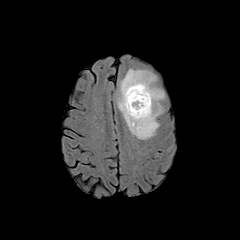
FLAIR MR image.
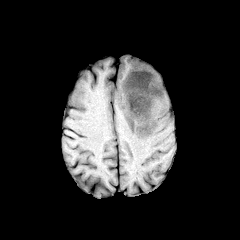
T1-weighted MRI of the same slice.
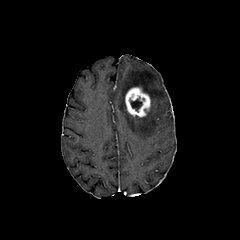
Post-contrast T1-weighted MR image.
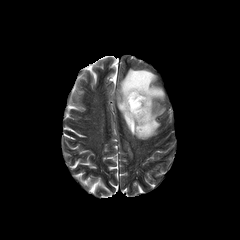
T2-weighted MRI of the same slice.
Brain | Axial slice
enhancing tumor: 125,87,150,117 | peritumoral edema: 118,69,164,139 | necrotic tumor core: 131,99,141,110